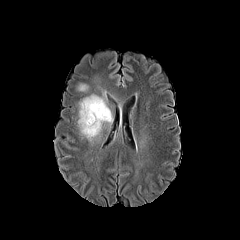
FLAIR MR.
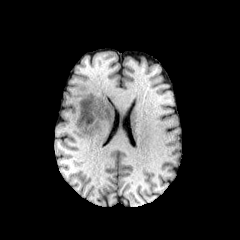
Same slice, T1-weighted magnetic resonance.
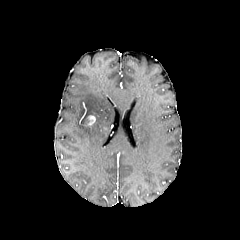
Post-contrast T1-weighted MR.
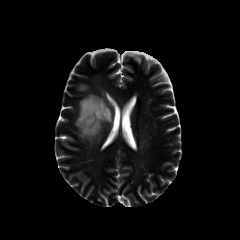
T2-weighted MR image of the same slice.
Brain
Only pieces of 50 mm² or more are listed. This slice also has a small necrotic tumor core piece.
2 peritumoral edema regions are bounded by region(78, 84, 88, 91); region(77, 91, 113, 141). The enhancing tumor lies within region(87, 115, 95, 125).